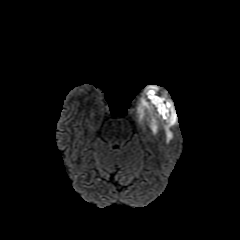
FLAIR MRI.
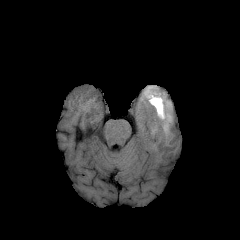
T1-weighted magnetic resonance.
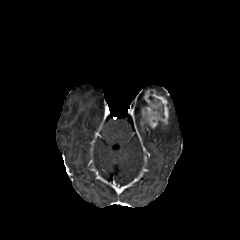
Post-contrast T1-weighted MR of the same slice.
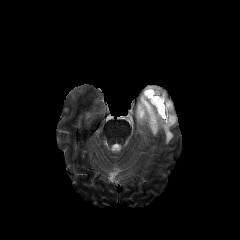
T2-weighted MR image.
Brain. 240x240 px. Axial view.
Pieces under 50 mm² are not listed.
<segmentation>
  <enhancing_tumor>{"x1": 140, "y1": 89, "x2": 170, "y2": 128}</enhancing_tumor>
  <necrotic_tumor_core>{"x1": 149, "y1": 95, "x2": 159, "y2": 104}, {"x1": 157, "y1": 105, "x2": 163, "y2": 117}</necrotic_tumor_core>
  <peritumoral_edema>{"x1": 136, "y1": 85, "x2": 177, "y2": 143}</peritumoral_edema>
</segmentation>